Axial plane, Head, Image size 240x240
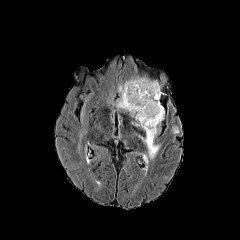
FLAIR magnetic resonance.
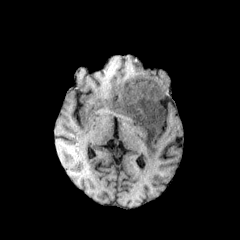
T1-weighted MRI.
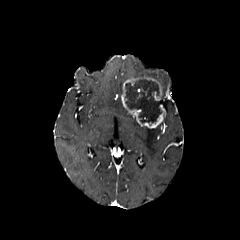
Same slice, post-contrast T1-weighted MR.
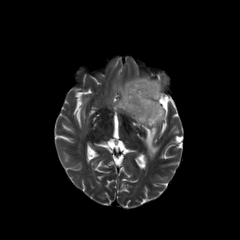
T2-weighted MR of the same slice.
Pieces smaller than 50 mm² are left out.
necrotic_tumor_core:
  - 125 79 161 122
peritumoral_edema:
  - 140 127 159 158
  - 116 98 126 110
enhancing_tumor:
  - 121 76 165 128